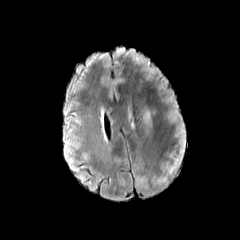
FLAIR magnetic resonance.
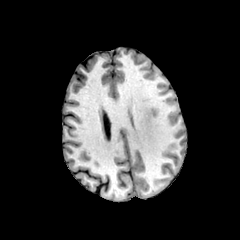
T1-weighted magnetic resonance.
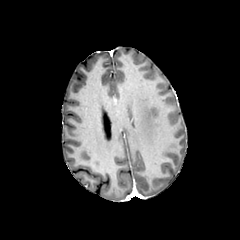
Same slice, post-contrast T1-weighted magnetic resonance.
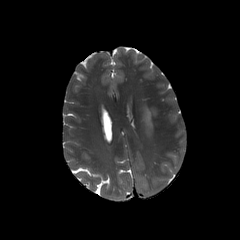
T2-weighted MRI of the same slice.
Axial slice.
Annotated regions:
* peritumoral edema: x1=143, y1=110, x2=151, y2=127